Axial view
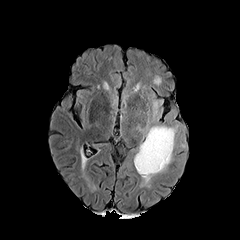
FLAIR MR image.
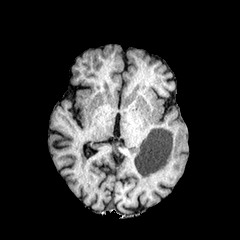
Same slice, T1-weighted magnetic resonance.
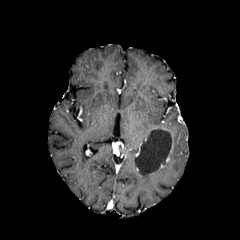
Post-contrast T1-weighted magnetic resonance.
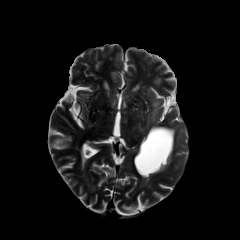
T2-weighted MR image of the same slice.
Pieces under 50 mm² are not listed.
The necrotic tumor core appears at 135 128 171 174. The largest enhancing tumor region lies within 153 127 173 162. The 3 largest peritumoral edema regions appear at 153 101 158 120, 145 125 177 147, 137 151 172 183.